FLAIR MR image.
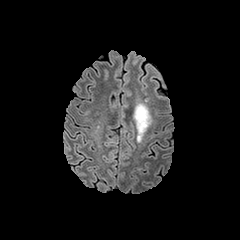
T1-weighted MR.
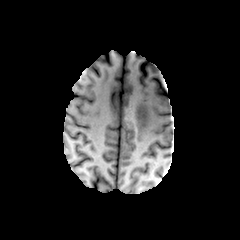
Post-contrast T1-weighted magnetic resonance.
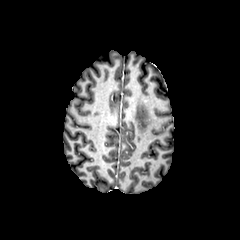
T2-weighted MRI.
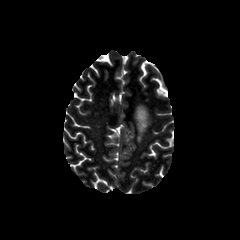
Brain | Image size 240x240
peritumoral edema = box=[135, 96, 151, 141]